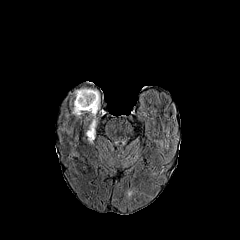
FLAIR MR image.
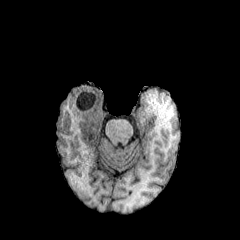
Same slice, T1-weighted magnetic resonance.
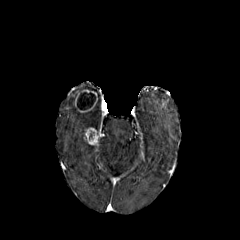
Post-contrast T1-weighted MR of the same slice.
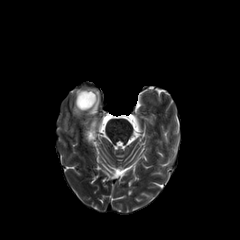
Same slice, T2-weighted MRI.
Brain
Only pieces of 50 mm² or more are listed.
<segmentation>
  <peritumoral_edema><bbox>68, 84, 101, 128</bbox></peritumoral_edema>
  <necrotic_tumor_core><bbox>77, 92, 95, 109</bbox></necrotic_tumor_core>
  <enhancing_tumor><bbox>85, 127, 98, 145</bbox>, <bbox>74, 89, 98, 112</bbox></enhancing_tumor>
</segmentation>